FLAIR MR image.
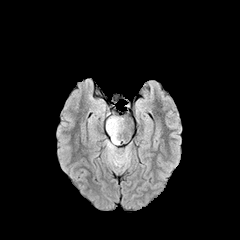
T1-weighted MRI.
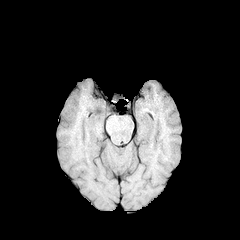
Post-contrast T1-weighted MR.
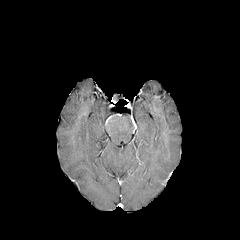
T2-weighted magnetic resonance.
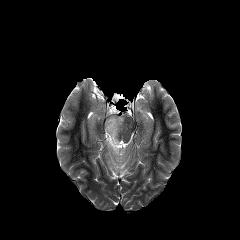
Head; Image size 240x240
peritumoral edema: (105, 116, 129, 168)